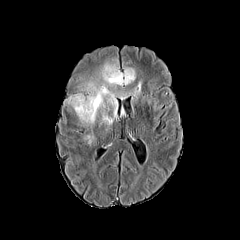
FLAIR magnetic resonance.
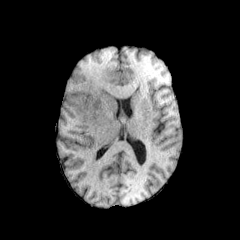
T1-weighted MR image of the same slice.
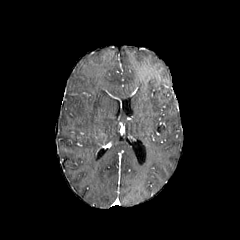
Post-contrast T1-weighted MR.
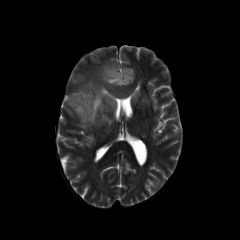
T2-weighted MRI of the same slice.
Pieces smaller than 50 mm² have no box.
peritumoral edema at (left=102, top=112, right=113, bottom=124), (left=69, top=64, right=135, bottom=123), (left=134, top=82, right=141, bottom=96)